Image covers 240 mm x 240 mm, Head
FLAIR magnetic resonance.
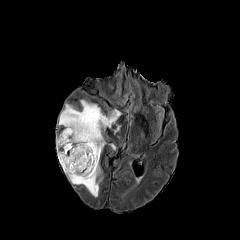
T1-weighted magnetic resonance.
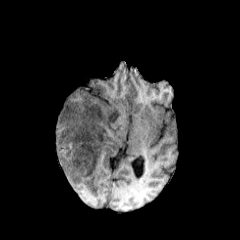
Post-contrast T1-weighted MR image.
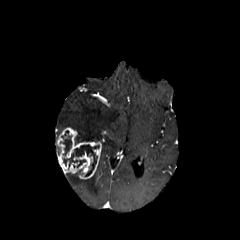
T2-weighted magnetic resonance.
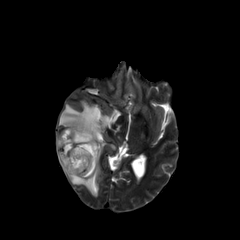
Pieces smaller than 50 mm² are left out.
Findings:
- necrotic tumor core: [60,135,71,155], [63,145,98,176]
- enhancing tumor: [56,127,101,179]
- peritumoral edema: [66,164,102,196], [58,100,121,150]